FLAIR MRI.
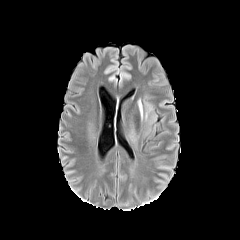
T1-weighted magnetic resonance.
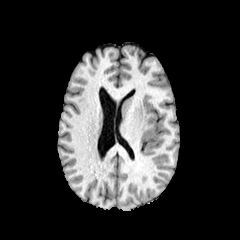
Post-contrast T1-weighted magnetic resonance.
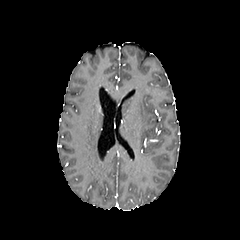
T2-weighted magnetic resonance.
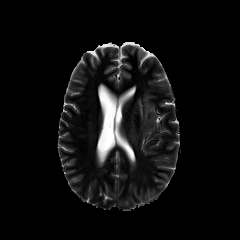
Axial slice
2 peritumoral edema regions are bounded by (x1=138, y1=100, x2=142, y2=120), (x1=144, y1=96, x2=156, y2=135).